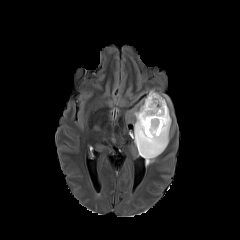
FLAIR magnetic resonance.
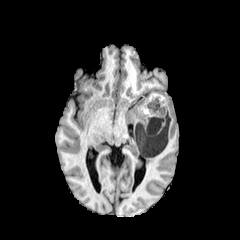
Same slice, T1-weighted MRI.
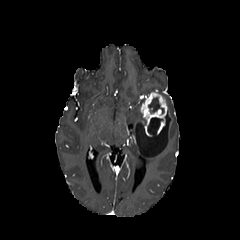
Post-contrast T1-weighted MR image.
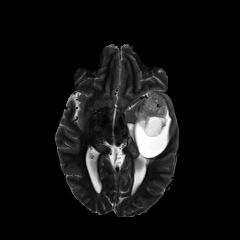
T2-weighted MRI.
240x240 px
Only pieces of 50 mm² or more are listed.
2 necrotic tumor core regions are located at 147:117:162:135, 148:97:164:113. The largest enhancing tumor region is at 140:91:167:136. The largest peritumoral edema region is located at 125:93:172:166.